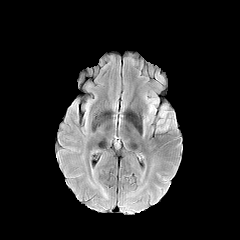
FLAIR MR.
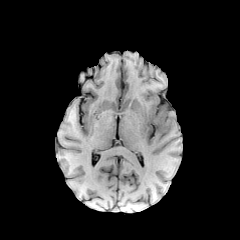
Same slice, T1-weighted MR.
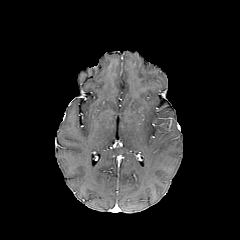
Post-contrast T1-weighted MR image.
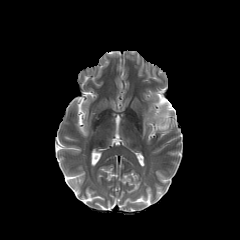
T2-weighted MR.
Image size 240x240. Brain.
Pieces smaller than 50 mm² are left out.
peritumoral edema at [158, 119, 169, 130], [143, 116, 149, 135]